FLAIR MRI.
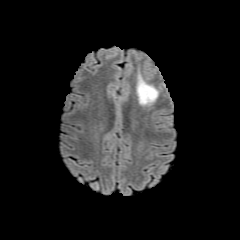
T1-weighted MRI.
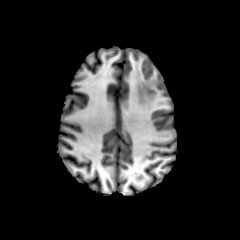
Post-contrast T1-weighted MR.
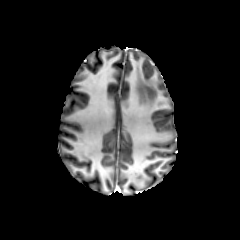
T2-weighted MRI.
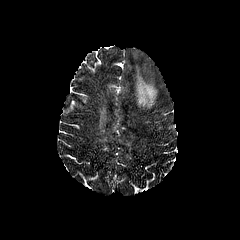
Brain
peritumoral_edema:
  - l=137, t=74, r=157, b=105